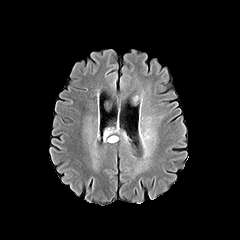
FLAIR MRI.
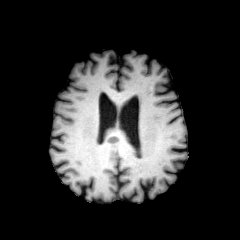
T1-weighted magnetic resonance of the same slice.
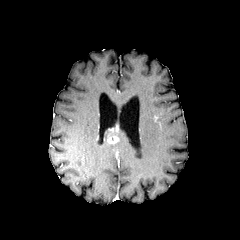
Post-contrast T1-weighted MR image.
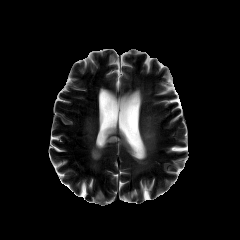
Same slice, T2-weighted magnetic resonance.
240x240 px. Axial slice. Head.
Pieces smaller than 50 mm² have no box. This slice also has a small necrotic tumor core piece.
enhancing tumor: bounding box bbox(107, 135, 118, 143)